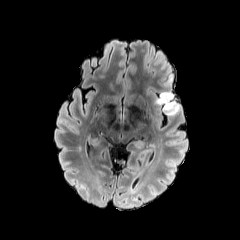
FLAIR MRI.
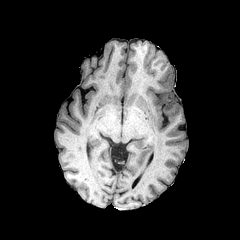
T1-weighted MR of the same slice.
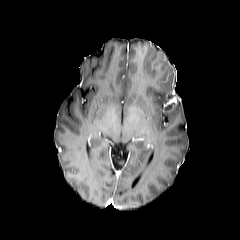
Post-contrast T1-weighted magnetic resonance of the same slice.
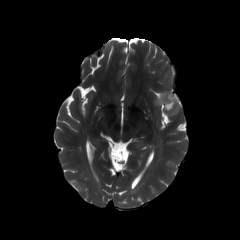
T2-weighted MR of the same slice.
Head; Axial plane
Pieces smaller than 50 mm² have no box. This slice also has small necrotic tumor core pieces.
enhancing tumor: 164 93 176 106
peritumoral edema: 154 91 171 105, 159 64 172 87, 163 103 179 115